Brain | Image covers 240 mm x 240 mm | Slice index 56
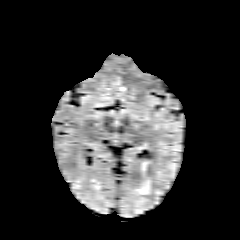
FLAIR MR.
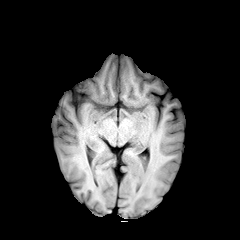
T1-weighted MR image.
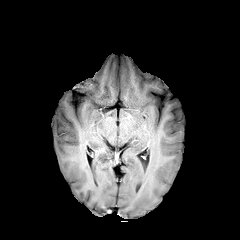
Post-contrast T1-weighted MRI.
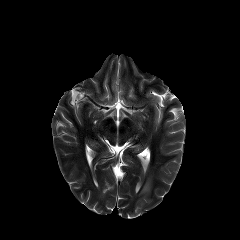
T2-weighted MR image.
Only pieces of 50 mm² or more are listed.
{"peritumoral_edema": ["<bbox>139, 180, 150, 194</bbox>"]}